Slice index 78. Head.
FLAIR MRI.
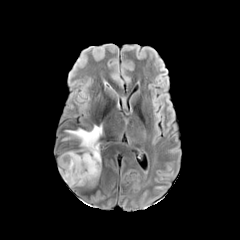
T1-weighted MR.
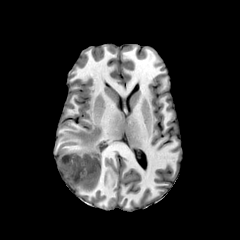
Post-contrast T1-weighted MRI.
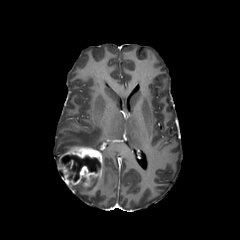
T2-weighted MRI.
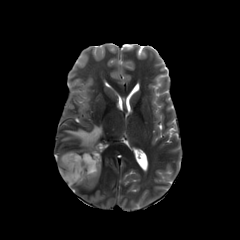
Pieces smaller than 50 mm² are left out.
- peritumoral edema: box=[63, 125, 102, 150]
- necrotic tumor core: box=[58, 155, 100, 181]
- enhancing tumor: box=[58, 146, 101, 187]